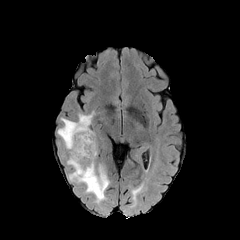
FLAIR MR.
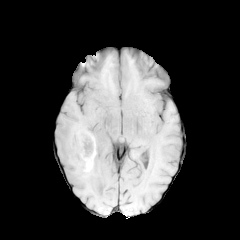
T1-weighted magnetic resonance.
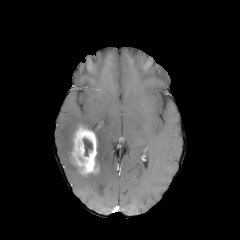
Post-contrast T1-weighted MR image of the same slice.
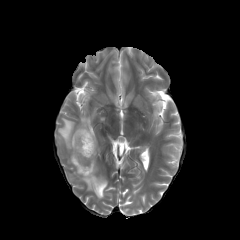
T2-weighted MR.
Head.
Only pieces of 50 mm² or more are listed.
• necrotic tumor core: (83,139,92,156)
• peritumoral edema: (57,111,109,202)
• enhancing tumor: (71,125,98,174)